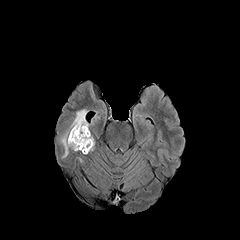
FLAIR MR image.
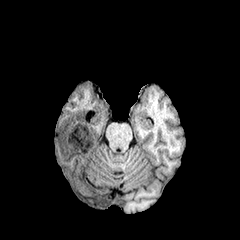
T1-weighted magnetic resonance of the same slice.
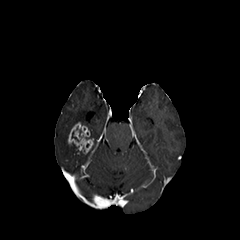
Same slice, post-contrast T1-weighted MR.
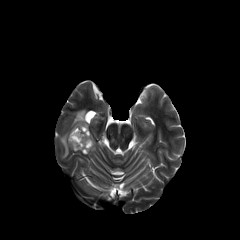
T2-weighted MR image.
Brain | Image size 240x240 | Axial plane
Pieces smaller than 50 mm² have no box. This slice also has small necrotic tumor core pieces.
enhancing_tumor:
  - rect(68, 122, 93, 154)
peritumoral_edema:
  - rect(60, 109, 89, 158)